FLAIR magnetic resonance.
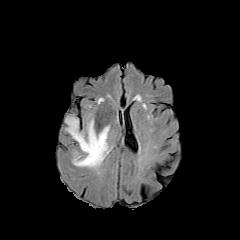
T1-weighted MRI.
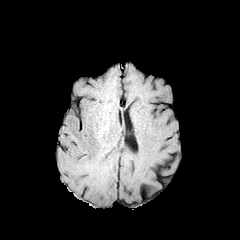
Post-contrast T1-weighted MRI.
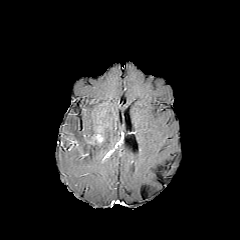
T2-weighted magnetic resonance.
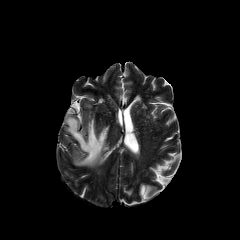
Head; Axial plane
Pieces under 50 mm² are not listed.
enhancing_tumor:
  - 94, 134, 103, 142
peritumoral_edema:
  - 65, 115, 112, 168